Head
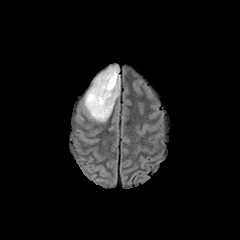
FLAIR MR image.
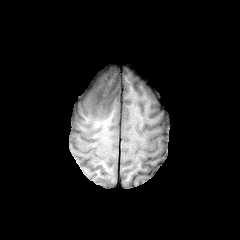
T1-weighted MRI of the same slice.
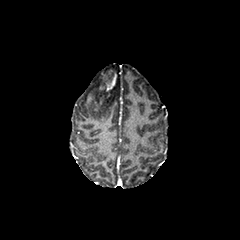
Post-contrast T1-weighted MR image.
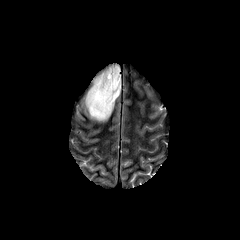
T2-weighted MR image.
<segmentation>
  <peritumoral_edema>left=84, top=66, right=120, bottom=121; left=95, top=74, right=113, bottom=100</peritumoral_edema>
  <enhancing_tumor>left=85, top=70, right=117, bottom=110</enhancing_tumor>
</segmentation>